Image width 240 mm; 240x240; Axial view
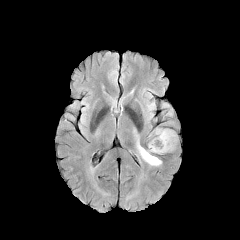
FLAIR MR image.
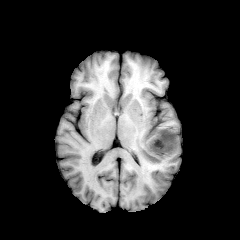
T1-weighted MR image.
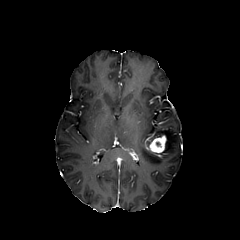
Post-contrast T1-weighted MR.
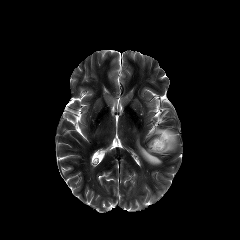
T2-weighted MR.
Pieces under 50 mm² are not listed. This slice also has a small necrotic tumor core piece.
The enhancing tumor is bounded by region(148, 135, 166, 152). The 2 largest peritumoral edema regions are bounded by region(155, 129, 176, 152); region(137, 138, 161, 165).